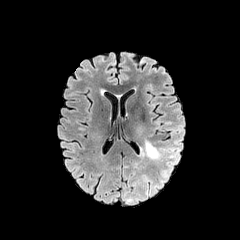
FLAIR MR image.
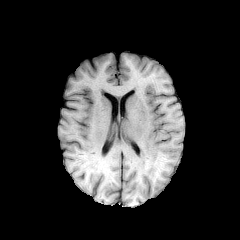
T1-weighted MR image.
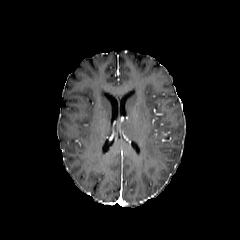
Post-contrast T1-weighted MR image of the same slice.
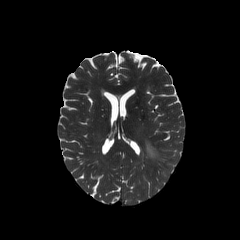
T2-weighted MR image.
Axial plane; Image size 240x240
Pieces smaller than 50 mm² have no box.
- peritumoral edema: 141,139,161,160